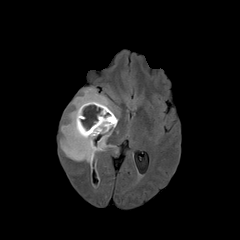
FLAIR MRI.
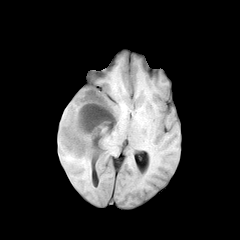
T1-weighted MR image.
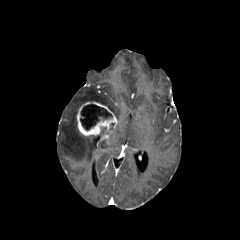
Post-contrast T1-weighted MRI of the same slice.
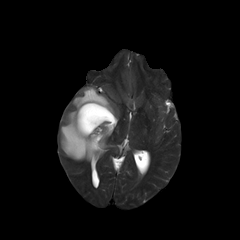
T2-weighted MR image.
Axial slice
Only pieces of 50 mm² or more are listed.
peritumoral edema — box(60, 87, 118, 162)
necrotic tumor core — box(80, 104, 112, 130)
enhancing tumor — box(77, 101, 117, 136)